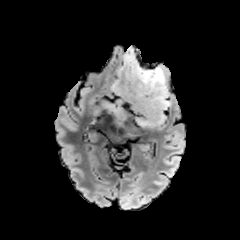
FLAIR magnetic resonance.
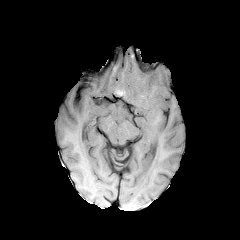
T1-weighted MR.
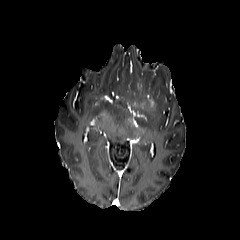
Post-contrast T1-weighted MR of the same slice.
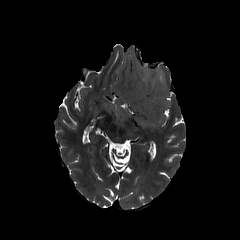
T2-weighted magnetic resonance.
240x240 px, Axial slice
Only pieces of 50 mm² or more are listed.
enhancing tumor: left=144, top=93, right=156, bottom=107 | peritumoral edema: left=112, top=46, right=167, bottom=125